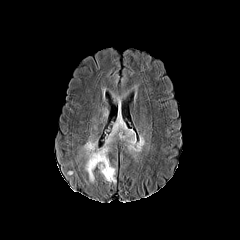
FLAIR magnetic resonance.
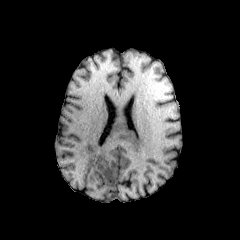
T1-weighted MRI.
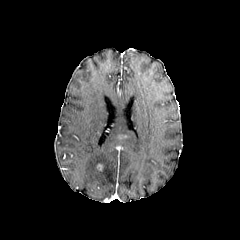
Same slice, post-contrast T1-weighted MR.
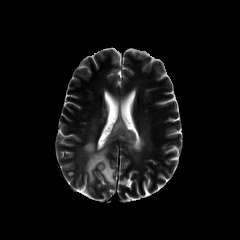
Same slice, T2-weighted MR.
Head. Axial slice.
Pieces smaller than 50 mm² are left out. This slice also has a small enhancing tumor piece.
The largest peritumoral edema region lies within left=83, top=118, right=144, bottom=183.